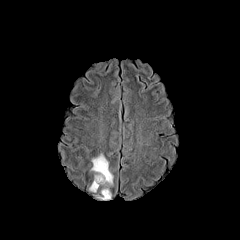
FLAIR MR.
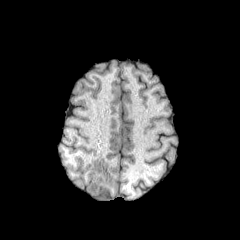
T1-weighted magnetic resonance.
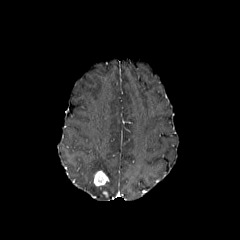
Post-contrast T1-weighted MRI.
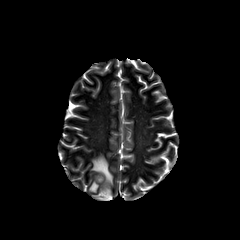
T2-weighted magnetic resonance of the same slice.
Image size 240x240, Axial slice
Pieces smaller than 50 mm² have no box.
peritumoral edema at x1=89 y1=183 x2=98 y2=192, x1=90 y1=153 x2=113 y2=200
enhancing tumor at x1=93 y1=170 x2=109 y2=186
necrotic tumor core at x1=96 y1=175 x2=104 y2=183